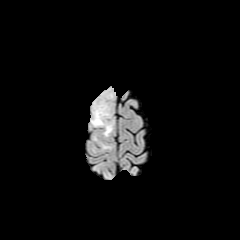
FLAIR MR image.
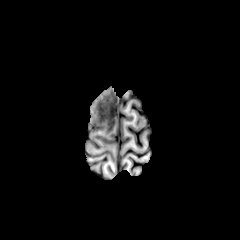
Same slice, T1-weighted MR image.
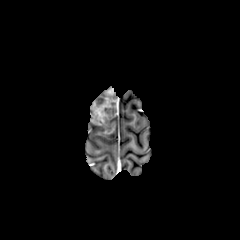
Same slice, post-contrast T1-weighted MR image.
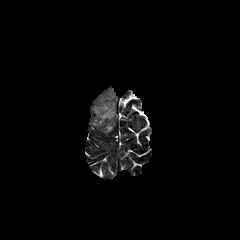
T2-weighted MR of the same slice.
Brain.
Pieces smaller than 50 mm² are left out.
<segmentation>
  <enhancing_tumor>x1=90, y1=87, x2=115, y2=133</enhancing_tumor>
  <peritumoral_edema>x1=94, y1=137, x2=111, y2=149</peritumoral_edema>
</segmentation>